FLAIR MR image.
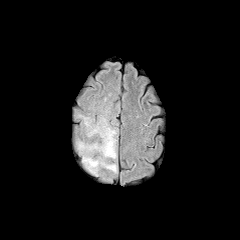
T1-weighted MR.
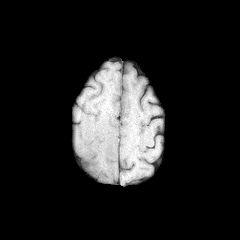
Post-contrast T1-weighted MRI.
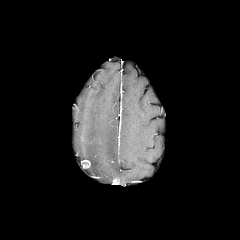
T2-weighted magnetic resonance.
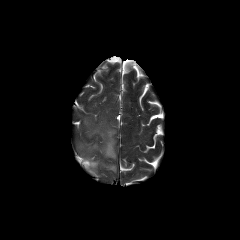
Head; Axial slice
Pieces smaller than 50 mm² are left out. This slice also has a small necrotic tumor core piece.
enhancing_tumor:
  - (x1=81, y1=160, x2=90, y2=168)
peritumoral_edema:
  - (x1=77, y1=111, x2=117, y2=175)